FLAIR magnetic resonance.
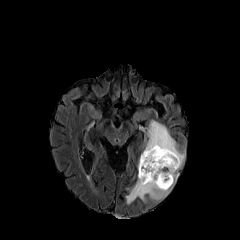
T1-weighted MRI.
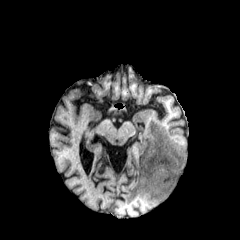
Post-contrast T1-weighted MR.
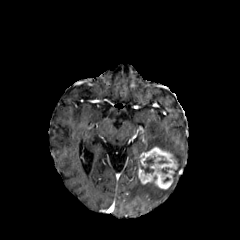
T2-weighted MR image.
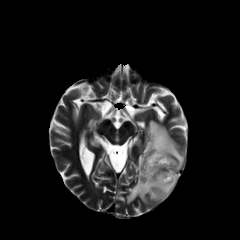
Head | 240x240 px
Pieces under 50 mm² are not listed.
enhancing tumor: bounding box x1=138, y1=147, x2=178, y2=189
peritumoral edema: bounding box x1=126, y1=120, x2=185, y2=203
necrotic tumor core: bounding box x1=141, y1=157, x2=155, y2=173